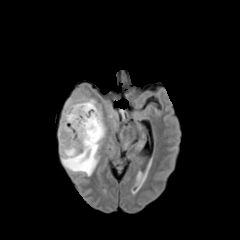
FLAIR MRI.
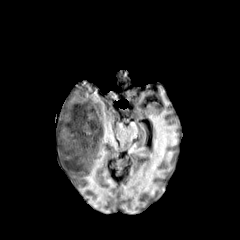
T1-weighted MR.
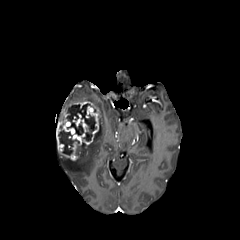
Same slice, post-contrast T1-weighted magnetic resonance.
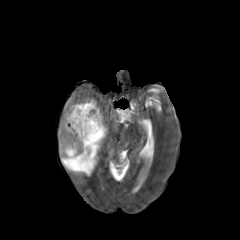
T2-weighted MRI.
Image size 240x240, Axial view, Brain
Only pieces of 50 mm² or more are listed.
Segmented structures:
* enhancing tumor: [x1=57, y1=101, x2=101, y2=160]
* peritumoral edema: [x1=67, y1=97, x2=96, y2=104], [x1=61, y1=123, x2=105, y2=175]
* necrotic tumor core: [x1=58, y1=130, x2=79, y2=154], [x1=66, y1=103, x2=96, y2=141], [x1=93, y1=118, x2=100, y2=142]